240x240 | Slice 81/155
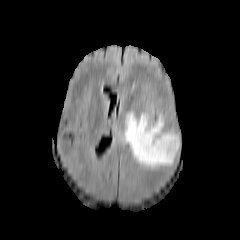
FLAIR MR image.
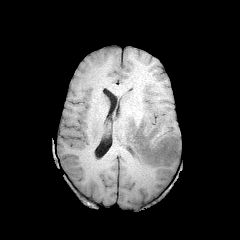
Same slice, T1-weighted magnetic resonance.
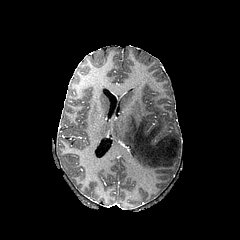
Same slice, post-contrast T1-weighted magnetic resonance.
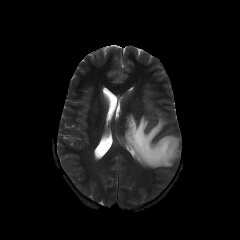
T2-weighted magnetic resonance of the same slice.
The peritumoral edema is at {"x1": 121, "y1": 112, "x2": 179, "y2": 168}.